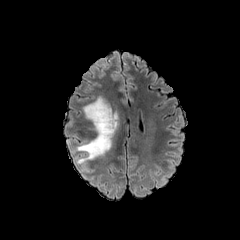
FLAIR magnetic resonance.
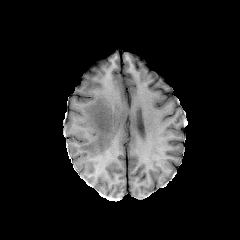
T1-weighted MRI.
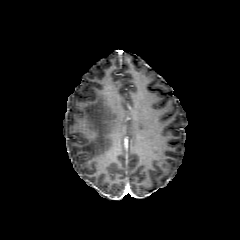
Post-contrast T1-weighted MRI.
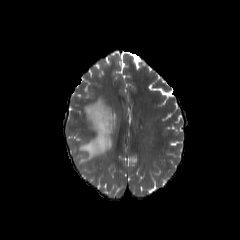
Same slice, T2-weighted MR.
Head
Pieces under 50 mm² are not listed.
peritumoral_edema:
  - rect(73, 96, 116, 163)